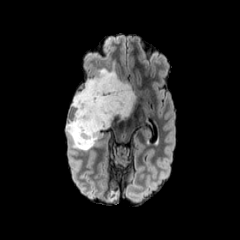
FLAIR MRI.
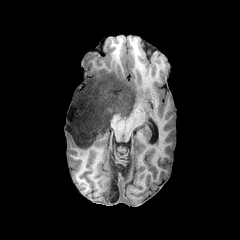
Same slice, T1-weighted magnetic resonance.
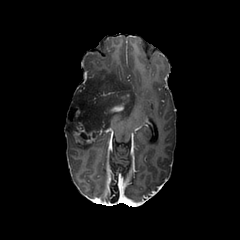
Post-contrast T1-weighted MR image.
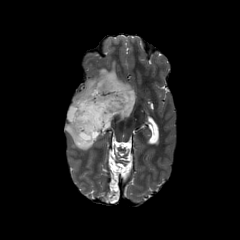
Same slice, T2-weighted magnetic resonance.
240x240 px. Brain.
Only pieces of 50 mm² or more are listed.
peritumoral_edema:
  - [66,62,135,151]
necrotic_tumor_core:
  - [80,132,90,139]
enhancing_tumor:
  - [111,103,123,111]
  - [72,107,101,145]